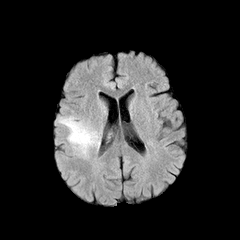
FLAIR MRI.
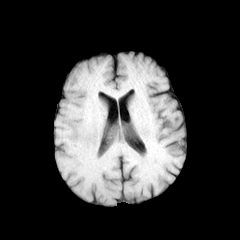
T1-weighted MR of the same slice.
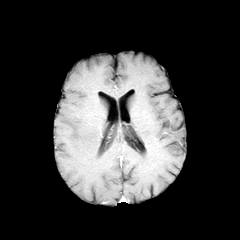
Post-contrast T1-weighted MR.
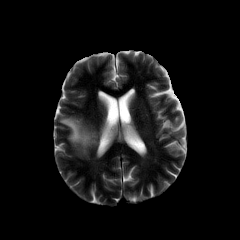
T2-weighted MR image.
Axial plane | Head
The peritumoral edema appears at [59, 117, 100, 155].